FLAIR MR.
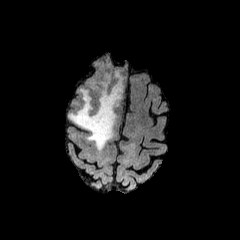
T1-weighted magnetic resonance.
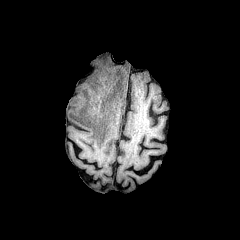
Post-contrast T1-weighted magnetic resonance.
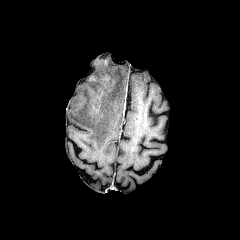
T2-weighted MRI.
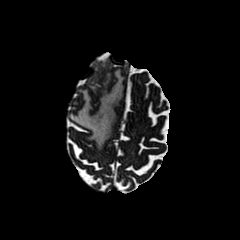
Head
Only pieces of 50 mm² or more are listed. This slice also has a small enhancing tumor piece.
The 2 largest peritumoral edema regions are bounded by <box>69,70,123,150</box>, <box>90,78,95,89</box>.